Axial slice; Image width 240 mm
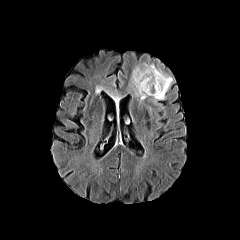
FLAIR MRI.
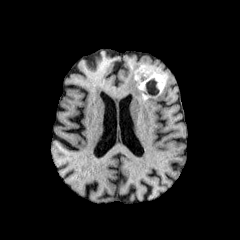
T1-weighted magnetic resonance of the same slice.
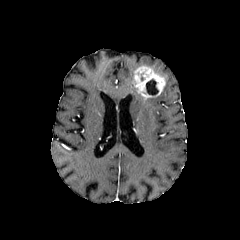
Post-contrast T1-weighted magnetic resonance.
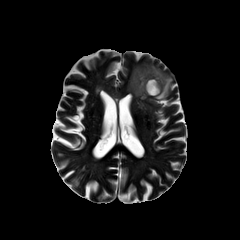
Same slice, T2-weighted MR.
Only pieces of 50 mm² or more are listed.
{
  "peritumoral_edema": [
    "[142, 64, 172, 102]",
    "[130, 66, 146, 101]"
  ],
  "necrotic_tumor_core": [
    "[146, 79, 158, 95]"
  ],
  "enhancing_tumor": [
    "[132, 66, 165, 97]"
  ]
}